Brain. Image covers 240 mm x 240 mm. Axial slice. 240x240 px.
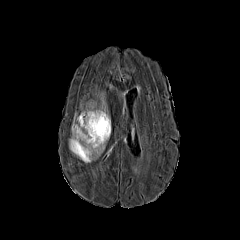
FLAIR MRI.
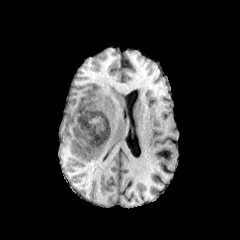
T1-weighted MR of the same slice.
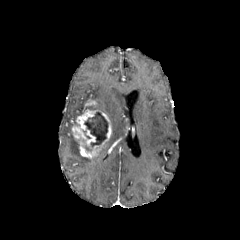
Same slice, post-contrast T1-weighted MR image.
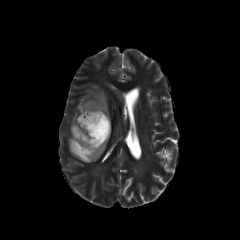
Same slice, T2-weighted MRI.
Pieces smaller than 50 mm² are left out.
{
  "peritumoral_edema": [
    "x1=99 y1=93 x2=108 y2=115",
    "x1=69 y1=136 x2=105 y2=162"
  ],
  "necrotic_tumor_core": [
    "x1=84 y1=112 x2=108 y2=146"
  ],
  "enhancing_tumor": [
    "x1=72 y1=109 x2=111 y2=159",
    "x1=86 y1=100 x2=97 y2=107"
  ]
}